Brain
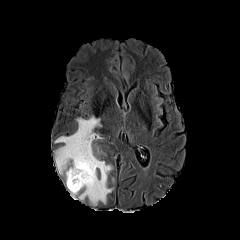
FLAIR MR image.
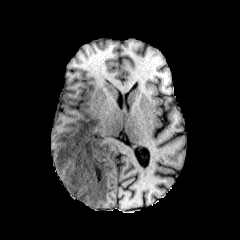
T1-weighted MRI of the same slice.
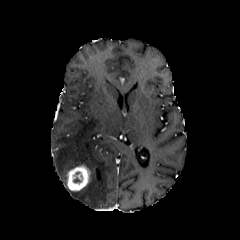
Same slice, post-contrast T1-weighted MR image.
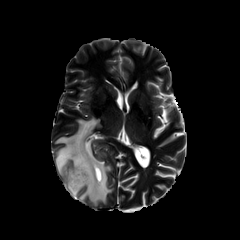
T2-weighted MRI of the same slice.
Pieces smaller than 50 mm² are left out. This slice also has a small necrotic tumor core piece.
The enhancing tumor is bounded by 66, 164, 91, 191. The largest peritumoral edema region appears at 55, 116, 113, 205.